FLAIR MR image.
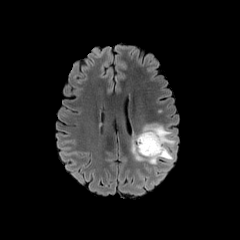
T1-weighted MRI.
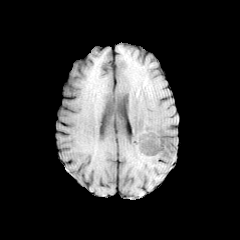
Post-contrast T1-weighted MR.
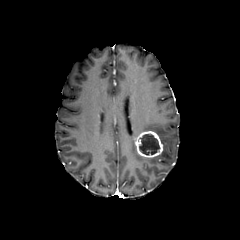
T2-weighted MR image.
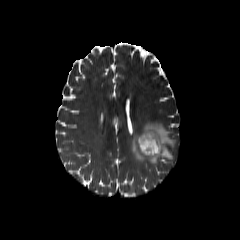
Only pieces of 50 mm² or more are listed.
peritumoral edema at box(131, 123, 176, 165)
necrotic tumor core at box(139, 134, 159, 154)
enhancing tumor at box(135, 131, 163, 157)